Brain; Axial view; 240x240
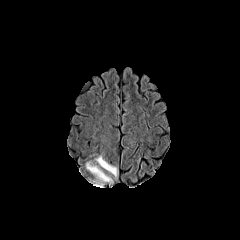
FLAIR MR.
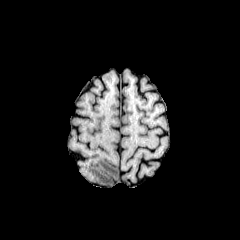
T1-weighted MRI.
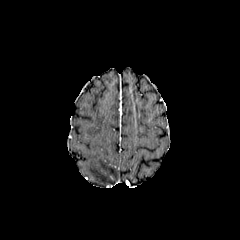
Post-contrast T1-weighted MR.
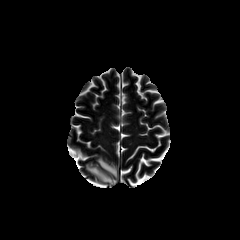
T2-weighted MRI.
Segmented structures:
- peritumoral edema: 96 156 117 178, 86 162 112 187